FLAIR MR.
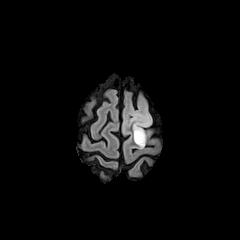
T1-weighted MR.
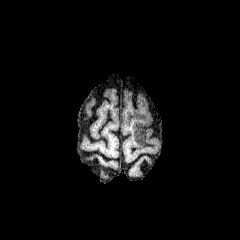
Post-contrast T1-weighted MR image.
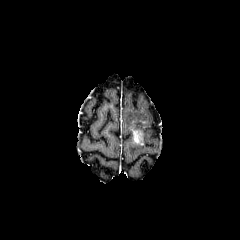
T2-weighted MR image.
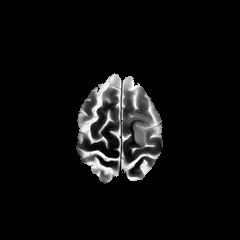
240x240 px
enhancing tumor: region(133, 130, 143, 144)
peritumoral edema: region(129, 108, 151, 148)